Axial view, 240x240 px, Brain
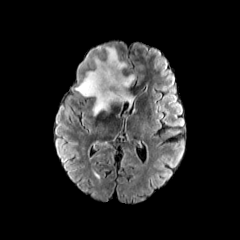
FLAIR magnetic resonance.
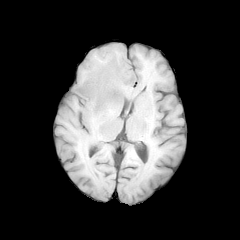
Same slice, T1-weighted MR image.
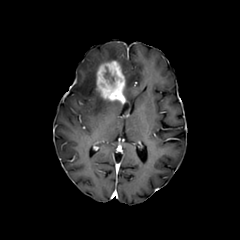
Post-contrast T1-weighted MR.
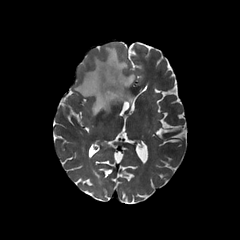
T2-weighted MR.
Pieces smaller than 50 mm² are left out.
Segmented structures:
- peritumoral edema: 75,56,119,115; 105,46,127,71; 124,74,134,106
- necrotic tumor core: 100,66,122,89
- enhancing tumor: 96,60,125,103